FLAIR MRI.
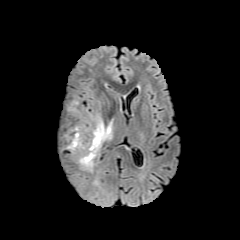
T1-weighted magnetic resonance.
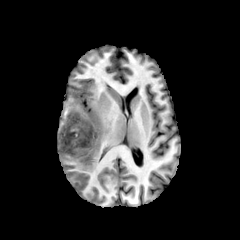
Post-contrast T1-weighted MR.
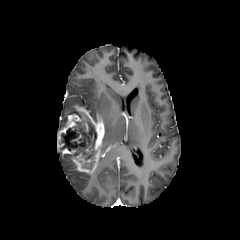
T2-weighted MR.
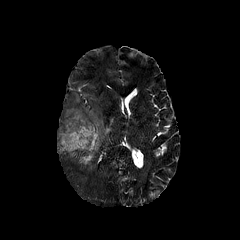
Head | Axial slice
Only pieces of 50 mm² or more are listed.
enhancing tumor — 57:105:104:173
peritumoral edema — 69:99:78:113, 102:120:112:144
necrotic tumor core — 61:121:96:160, 82:161:94:169